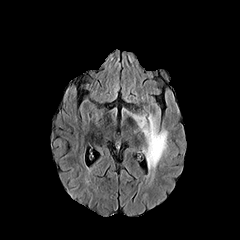
FLAIR MR.
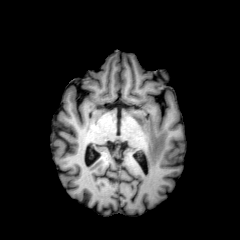
Same slice, T1-weighted MR.
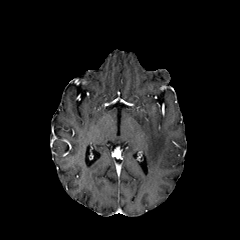
Post-contrast T1-weighted MRI.
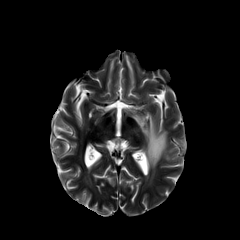
T2-weighted MR image.
240x240
peritumoral_edema:
  - left=131, top=108, right=167, bottom=176